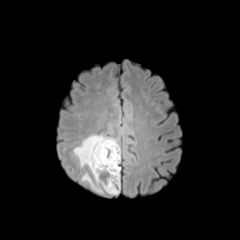
FLAIR MR image.
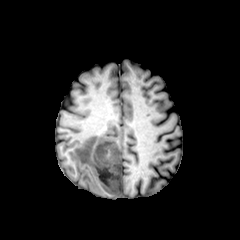
T1-weighted MRI.
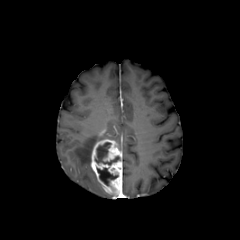
Post-contrast T1-weighted MR image.
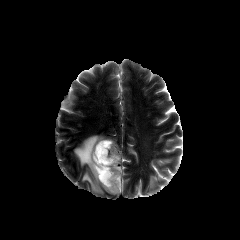
Same slice, T2-weighted MR image.
Axial plane, Brain
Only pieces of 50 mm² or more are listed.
enhancing_tumor:
  - 91:139:122:194
peritumoral_edema:
  - 73:135:117:193
necrotic_tumor_core:
  - 97:168:118:185
  - 95:142:119:165